Head
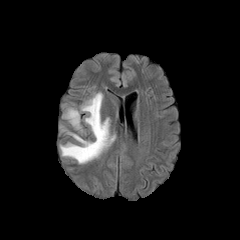
FLAIR magnetic resonance.
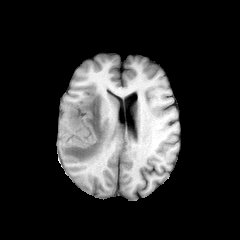
T1-weighted MRI of the same slice.
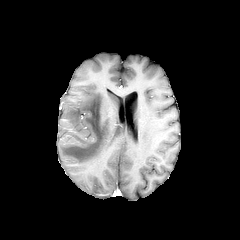
Post-contrast T1-weighted MR image.
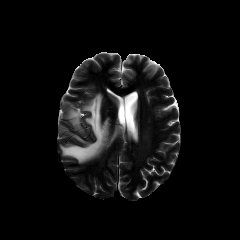
T2-weighted magnetic resonance.
• peritumoral edema: <box>63,107,83,132</box>, <box>60,92,115,163</box>